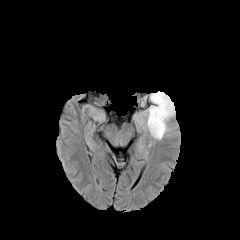
FLAIR magnetic resonance.
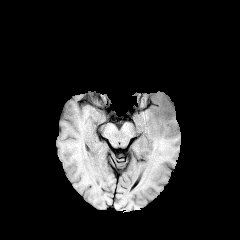
T1-weighted magnetic resonance.
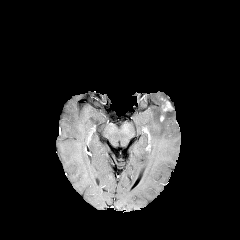
Post-contrast T1-weighted MR image.
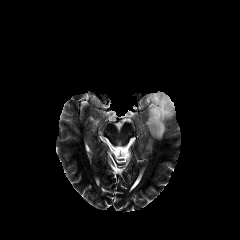
T2-weighted magnetic resonance.
240x240; Axial slice
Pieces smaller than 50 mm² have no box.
enhancing_tumor:
  - bbox=[161, 98, 173, 111]
peritumoral_edema:
  - bbox=[136, 91, 175, 140]